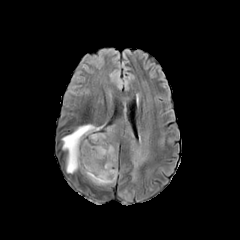
FLAIR MRI.
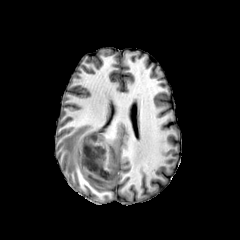
T1-weighted MR image.
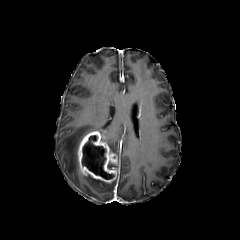
Same slice, post-contrast T1-weighted MR.
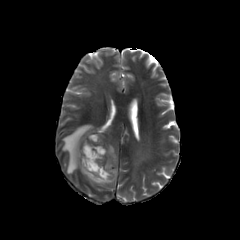
T2-weighted magnetic resonance.
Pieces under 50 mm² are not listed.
enhancing tumor: (77, 131, 119, 182) | peritumoral edema: (62, 124, 101, 173), (100, 127, 144, 181), (87, 175, 115, 185) | necrotic tumor core: (82, 135, 114, 179)